FLAIR MRI.
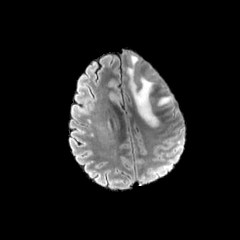
T1-weighted MR image.
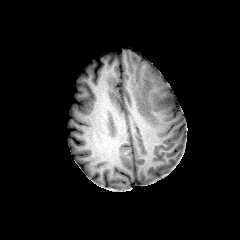
Post-contrast T1-weighted magnetic resonance.
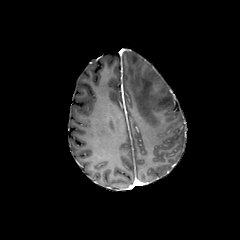
T2-weighted MR.
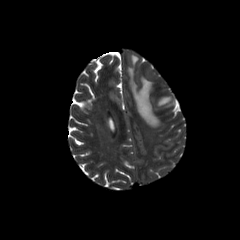
Head, Axial plane
peritumoral edema = [157,96,173,106], [127,55,158,126]